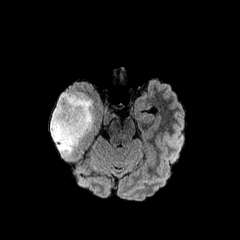
FLAIR MRI.
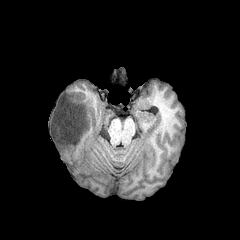
Same slice, T1-weighted MRI.
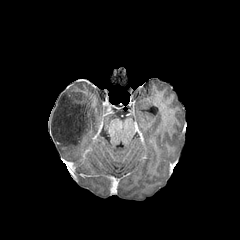
Same slice, post-contrast T1-weighted MR image.
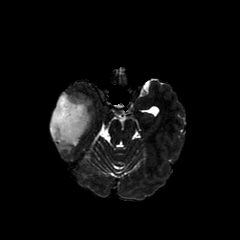
T2-weighted MR image.
240x240.
peritumoral edema: (50, 93, 93, 156)